Slice index 101 | Brain | Axial plane
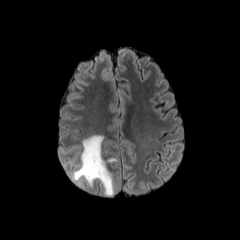
FLAIR MR.
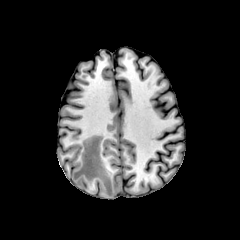
Same slice, T1-weighted MRI.
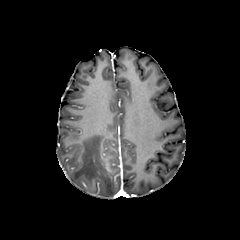
Post-contrast T1-weighted MRI.
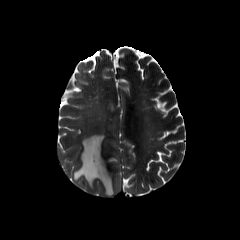
T2-weighted MR of the same slice.
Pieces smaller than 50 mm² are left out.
peritumoral edema = left=73, top=135, right=114, bottom=196